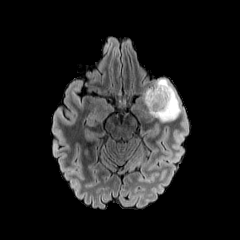
FLAIR MR image.
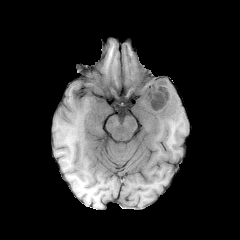
T1-weighted MR image of the same slice.
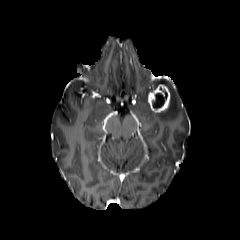
Post-contrast T1-weighted MR.
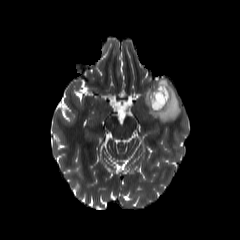
T2-weighted MR image.
240x240.
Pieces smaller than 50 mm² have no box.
The enhancing tumor is bounded by (x1=147, y1=84, x2=170, y2=112). The largest necrotic tumor core region is located at (x1=152, y1=90, x2=167, y2=108). The peritumoral edema appears at (x1=144, y1=78, x2=181, y2=122).